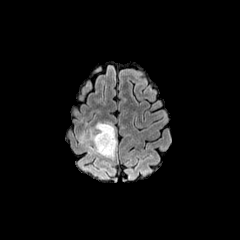
FLAIR magnetic resonance.
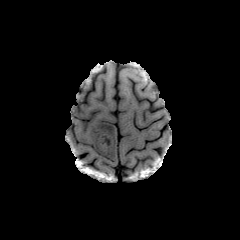
T1-weighted MRI.
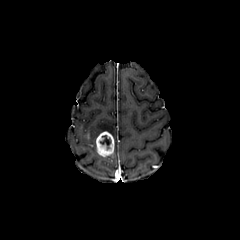
Post-contrast T1-weighted MRI.
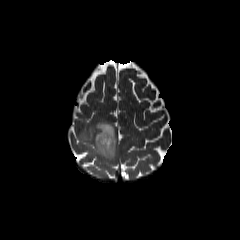
Same slice, T2-weighted magnetic resonance.
Brain; Axial view
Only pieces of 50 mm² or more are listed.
The peritumoral edema is located at [79,122,116,159]. The necrotic tumor core is at [100,135,110,149]. The largest enhancing tumor region is located at [95,131,114,156].